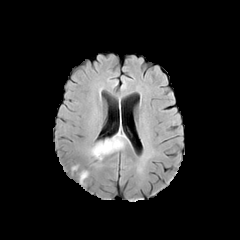
FLAIR MR image.
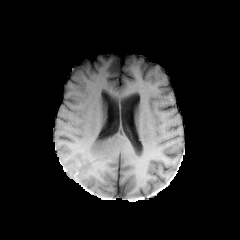
T1-weighted magnetic resonance of the same slice.
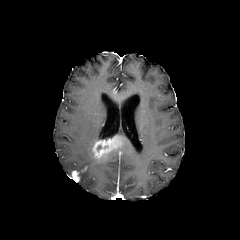
Same slice, post-contrast T1-weighted MR.
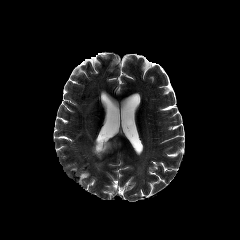
T2-weighted MRI of the same slice.
Head, Axial slice
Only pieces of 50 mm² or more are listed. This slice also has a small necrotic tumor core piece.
Segmented structures:
- enhancing tumor: 92, 136, 122, 158; 72, 170, 79, 181
- peritumoral edema: 79, 171, 89, 184; 111, 131, 126, 152